Brain | Image covers 240 mm x 240 mm | Axial plane
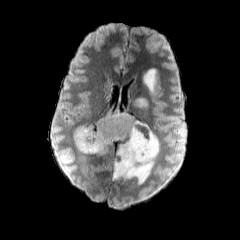
FLAIR MR image.
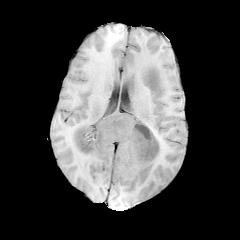
T1-weighted magnetic resonance.
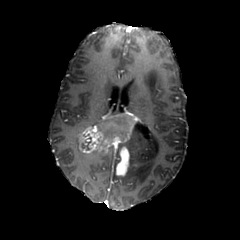
Same slice, post-contrast T1-weighted MRI.
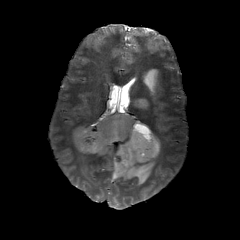
Same slice, T2-weighted MRI.
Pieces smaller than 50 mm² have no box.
Annotated regions:
• enhancing tumor: [77, 112, 136, 176]
• necrotic tumor core: [115, 117, 125, 124]
• peritumoral edema: [143, 68, 156, 93], [85, 150, 112, 157], [73, 126, 85, 148], [113, 120, 159, 184], [134, 98, 147, 108]